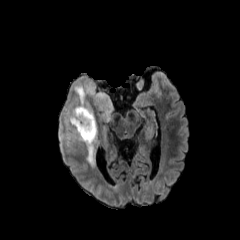
FLAIR MR image.
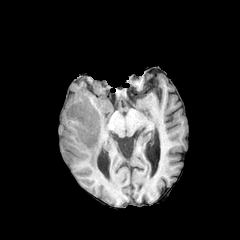
T1-weighted MR image of the same slice.
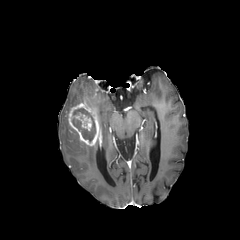
Same slice, post-contrast T1-weighted magnetic resonance.
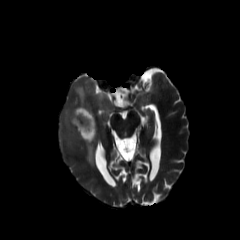
T2-weighted MR image.
240x240 px
The necrotic tumor core lies within rect(72, 108, 95, 141). The peritumoral edema appears at rect(59, 86, 115, 168). The enhancing tumor is located at rect(67, 97, 100, 146).